FLAIR MRI.
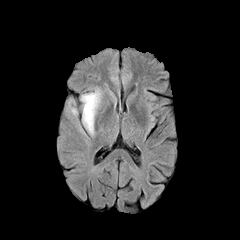
T1-weighted MR.
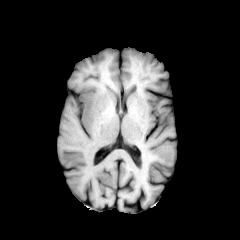
Post-contrast T1-weighted MR.
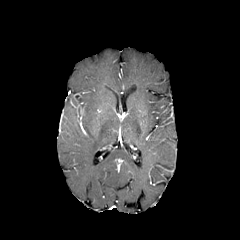
T2-weighted magnetic resonance.
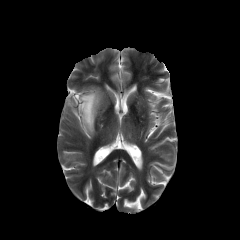
Brain.
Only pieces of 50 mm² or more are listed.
peritumoral edema at (left=80, top=88, right=101, bottom=135)